Slice 116 of 155; Axial view; Image covers 240 mm x 240 mm; Head
FLAIR magnetic resonance.
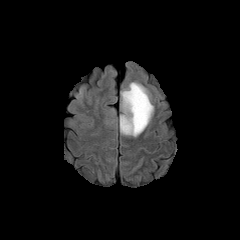
T1-weighted MR.
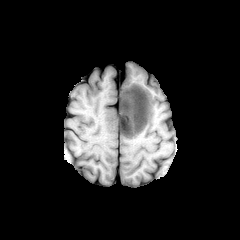
Post-contrast T1-weighted MR.
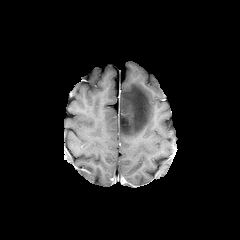
T2-weighted magnetic resonance.
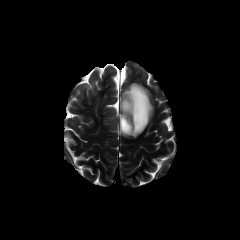
* peritumoral edema: x1=120, y1=82, x2=153, y2=137